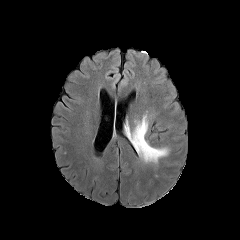
FLAIR MR image.
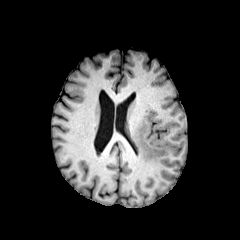
T1-weighted magnetic resonance of the same slice.
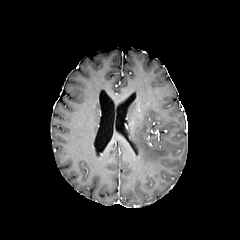
Post-contrast T1-weighted magnetic resonance.
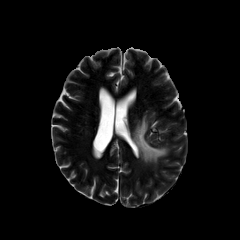
T2-weighted magnetic resonance of the same slice.
Axial plane
peritumoral_edema:
  - [128,115,168,163]